Brain | Image size 240x240 | Axial slice
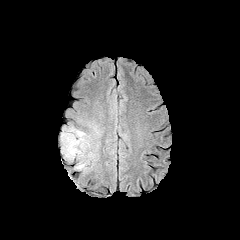
FLAIR MRI.
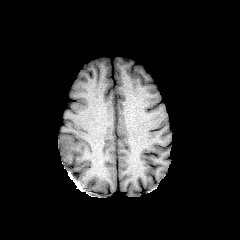
Same slice, T1-weighted magnetic resonance.
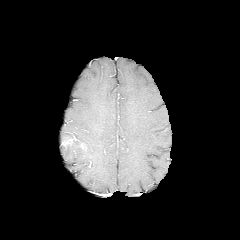
Same slice, post-contrast T1-weighted MR image.
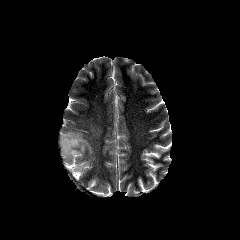
T2-weighted MR.
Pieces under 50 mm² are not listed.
The 2 largest peritumoral edema regions are located at rect(92, 126, 98, 137); rect(60, 126, 95, 173). The largest enhancing tumor region lies within rect(62, 137, 76, 146).